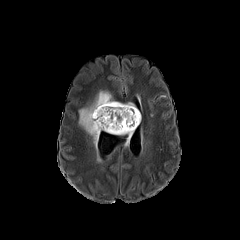
FLAIR MR.
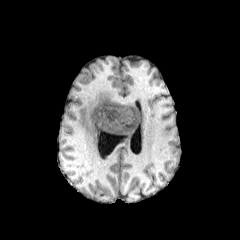
Same slice, T1-weighted MRI.
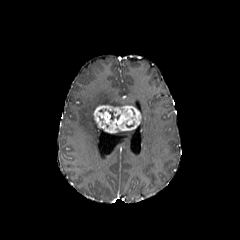
Same slice, post-contrast T1-weighted magnetic resonance.
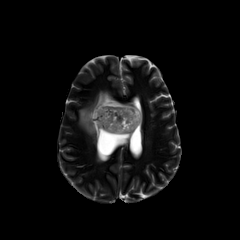
T2-weighted MRI of the same slice.
Brain | Axial view
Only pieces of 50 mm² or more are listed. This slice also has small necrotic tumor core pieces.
enhancing tumor at box=[93, 104, 141, 133]
peritumoral edema at box=[79, 91, 134, 147]; box=[115, 130, 134, 141]